Axial slice | 240x240 px | Slice index 63
FLAIR MR.
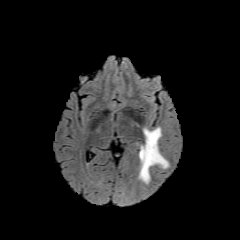
T1-weighted MRI.
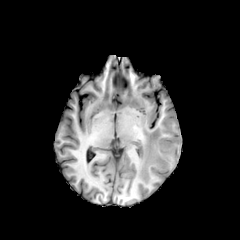
Post-contrast T1-weighted magnetic resonance.
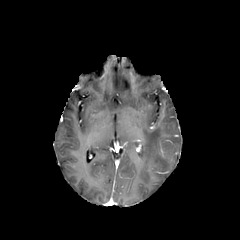
T2-weighted MR.
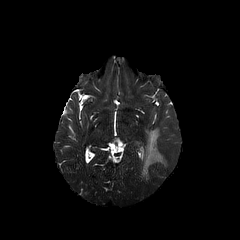
peritumoral edema: bounding box 139,127,168,183